Slice 66/155. Head.
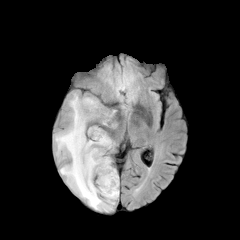
FLAIR MR.
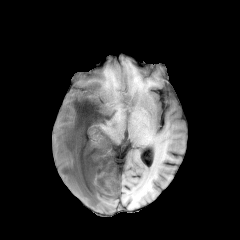
T1-weighted MRI.
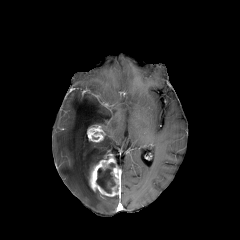
Same slice, post-contrast T1-weighted MR.
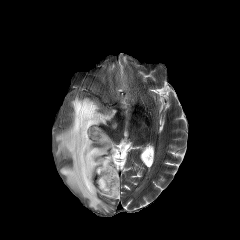
Same slice, T2-weighted MRI.
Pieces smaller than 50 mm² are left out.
peritumoral_edema:
  - [54, 93, 118, 212]
enhancing_tumor:
  - [89, 154, 120, 196]
  - [87, 124, 105, 142]
necrotic_tumor_core:
  - [96, 168, 115, 193]